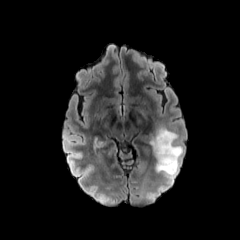
FLAIR MR image.
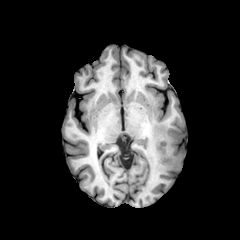
T1-weighted MRI of the same slice.
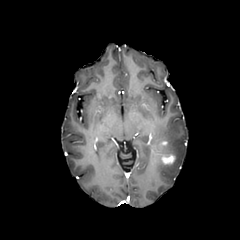
Post-contrast T1-weighted MR image of the same slice.
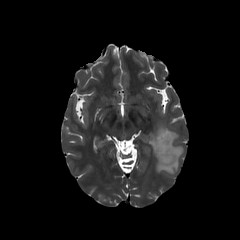
T2-weighted MR image.
Brain. Axial slice.
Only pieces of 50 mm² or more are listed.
enhancing_tumor:
  - rect(161, 154, 174, 164)
peritumoral_edema:
  - rect(150, 123, 183, 179)